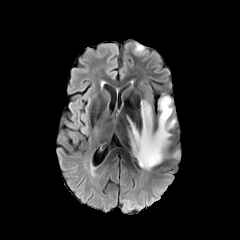
FLAIR MRI.
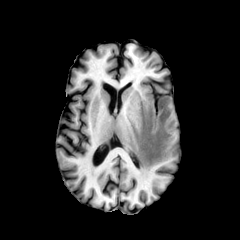
T1-weighted MR of the same slice.
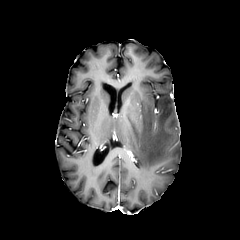
Same slice, post-contrast T1-weighted MR.
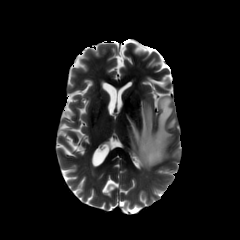
Same slice, T2-weighted MR.
Brain; Axial view
Annotated regions:
- peritumoral edema: box=[128, 96, 176, 171]